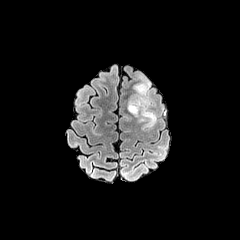
FLAIR magnetic resonance.
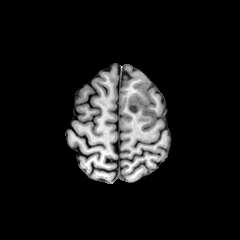
Same slice, T1-weighted MR.
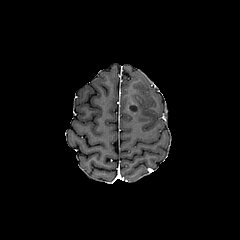
Post-contrast T1-weighted MR image of the same slice.
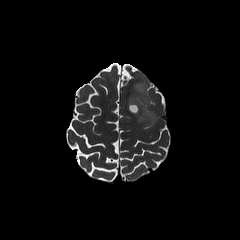
T2-weighted MR image.
Axial plane | Head
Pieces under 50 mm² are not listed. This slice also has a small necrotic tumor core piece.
Segmented structures:
• enhancing tumor: 127,99,140,113
• peritumoral edema: 127,75,156,126